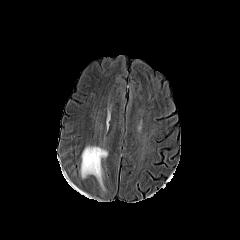
FLAIR magnetic resonance.
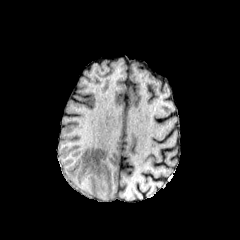
Same slice, T1-weighted MRI.
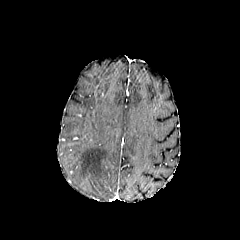
Post-contrast T1-weighted MR.
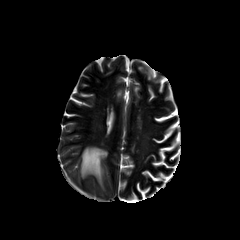
T2-weighted MR of the same slice.
Brain
peritumoral edema — [80,146,107,190]